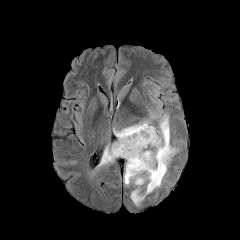
FLAIR MR image.
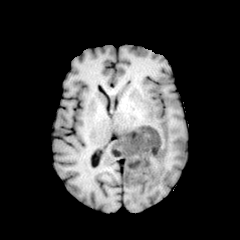
Same slice, T1-weighted MR image.
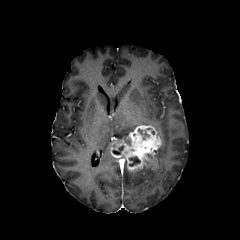
Post-contrast T1-weighted magnetic resonance of the same slice.
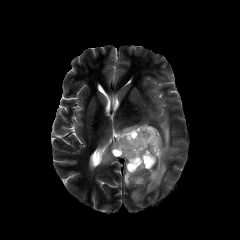
T2-weighted MRI.
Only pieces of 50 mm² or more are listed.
peritumoral edema: x1=131, y1=190, x2=144, y2=205; x1=114, y1=122, x2=148, y2=139; x1=124, y1=116, x2=175, y2=193; x1=99, y1=145, x2=114, y2=165 | enhancing tumor: x1=110, y1=125, x2=161, y2=172 | necrotic tumor core: x1=112, y1=146, x2=123, y2=154; x1=129, y1=157, x2=140, y2=166